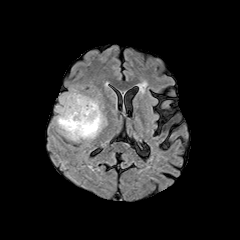
FLAIR MR.
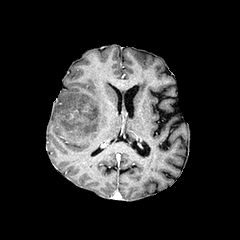
T1-weighted MR image.
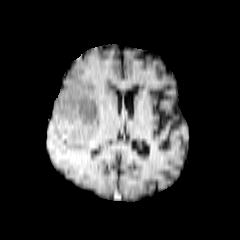
Post-contrast T1-weighted MRI of the same slice.
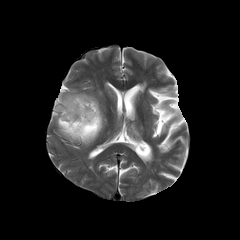
Same slice, T2-weighted magnetic resonance.
Brain, 240x240 px
Segmented structures:
- peritumoral edema: box=[56, 89, 106, 142]
- necrotic tumor core: box=[60, 117, 83, 135]